FLAIR MR image.
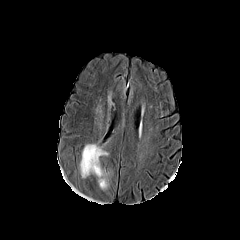
T1-weighted MRI.
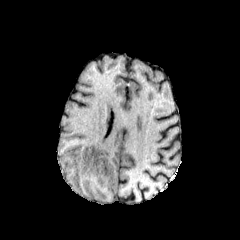
Post-contrast T1-weighted MR image.
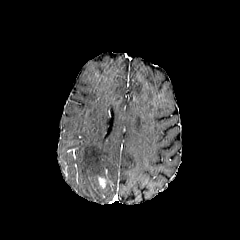
T2-weighted MR.
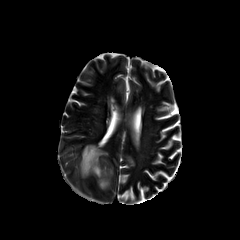
Axial view, Head
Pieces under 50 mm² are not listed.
enhancing tumor: (left=99, top=177, right=106, bottom=187)
peritumoral edema: (left=80, top=144, right=108, bottom=182)